FLAIR MR image.
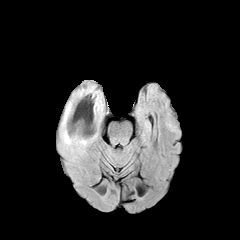
T1-weighted MRI.
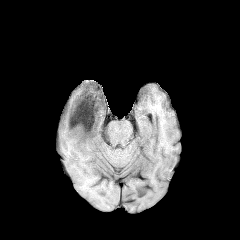
Post-contrast T1-weighted magnetic resonance.
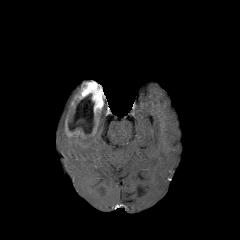
T2-weighted magnetic resonance.
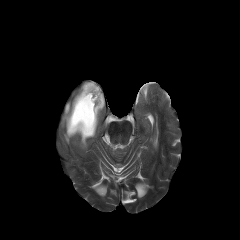
240x240; Axial view; Head
Findings:
* necrotic tumor core: 68,94,93,134
* enhancing tumor: 65,81,104,144
* peritumoral edema: 60,89,104,152